FLAIR MR image.
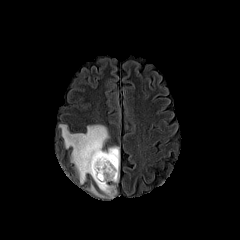
T1-weighted MRI.
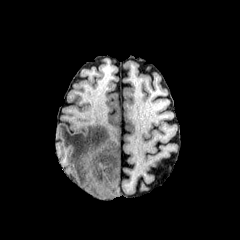
Post-contrast T1-weighted MRI.
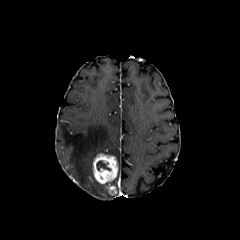
T2-weighted MR.
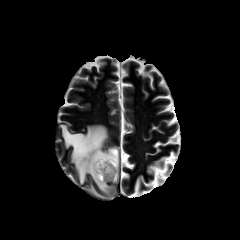
Brain
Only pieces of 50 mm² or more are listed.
The enhancing tumor is at x1=92, y1=153, x2=118, y2=195. The largest peritumoral edema region is bounded by x1=59, y1=124, x2=119, y2=198. The necrotic tumor core is at x1=97, y1=161, x2=110, y2=170.